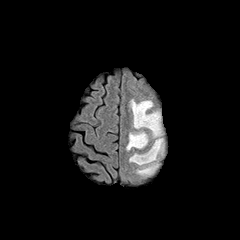
FLAIR MR.
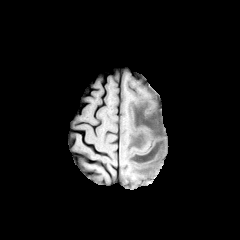
T1-weighted magnetic resonance.
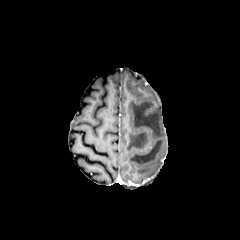
Post-contrast T1-weighted MR image.
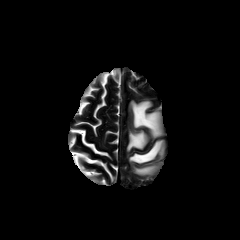
Same slice, T2-weighted magnetic resonance.
<segmentation>
  <peritumoral_edema>left=129, top=100, right=164, bottom=176; left=126, top=130, right=149, bottom=151</peritumoral_edema>
</segmentation>